FLAIR MRI.
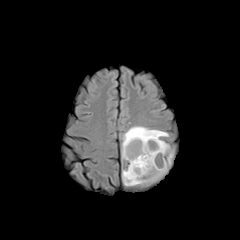
T1-weighted magnetic resonance.
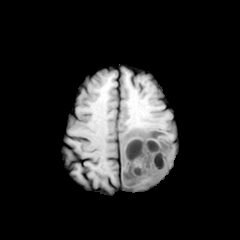
Post-contrast T1-weighted MR image.
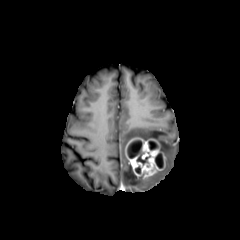
T2-weighted MR image.
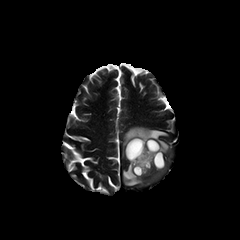
Axial view, Head
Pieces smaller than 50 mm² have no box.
The enhancing tumor is bounded by [x1=125, y1=138, x2=165, y2=177]. The peritumoral edema appears at [x1=122, y1=126, x2=173, y2=185]. The 4 largest necrotic tumor core regions appear at [x1=127, y1=140, x2=142, y2=158], [x1=137, y1=156, x2=150, y2=164], [x1=148, y1=140, x2=156, y2=150], [x1=155, y1=155, x2=162, y2=168].